Axial slice; Slice 95/155; 240x240
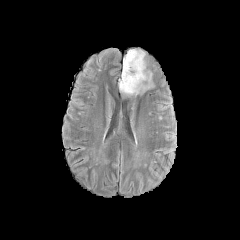
FLAIR MRI.
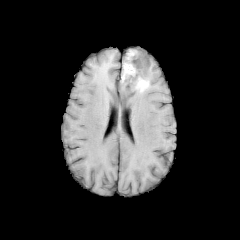
T1-weighted MR.
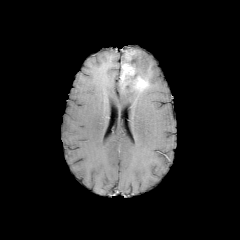
Post-contrast T1-weighted MR image.
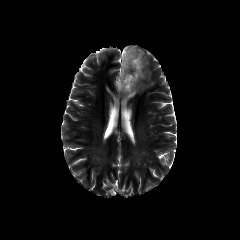
T2-weighted MR.
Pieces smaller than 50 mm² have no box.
Segmented structures:
* peritumoral edema: {"x1": 118, "y1": 83, "x2": 139, "y2": 96}, {"x1": 128, "y1": 49, "x2": 151, "y2": 87}
* necrotic tumor core: {"x1": 123, "y1": 85, "x2": 134, "y2": 91}, {"x1": 123, "y1": 53, "x2": 146, "y2": 80}
* enhancing tumor: {"x1": 125, "y1": 51, "x2": 134, "y2": 60}, {"x1": 119, "y1": 63, "x2": 148, "y2": 91}